FLAIR MR image.
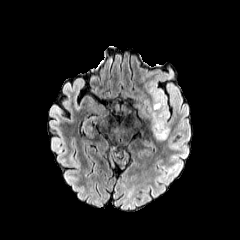
T1-weighted magnetic resonance.
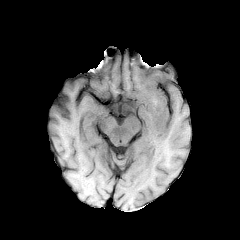
Post-contrast T1-weighted MRI.
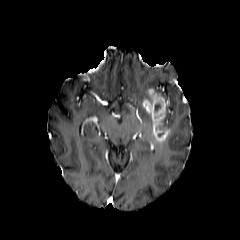
T2-weighted MRI.
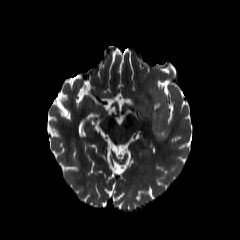
Axial view.
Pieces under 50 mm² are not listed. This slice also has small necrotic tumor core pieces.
enhancing tumor: box(142, 88, 170, 142)
peritumoral edema: box(141, 107, 151, 131); box(148, 82, 171, 118)